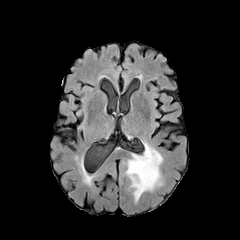
FLAIR MR image.
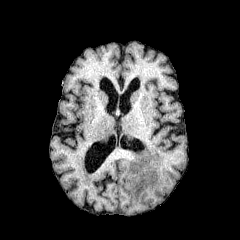
T1-weighted MR of the same slice.
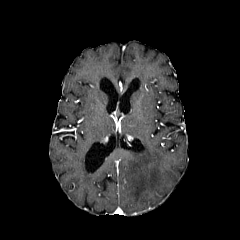
Post-contrast T1-weighted MRI.
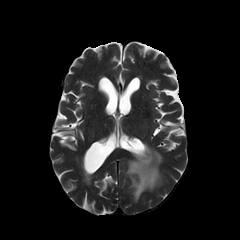
T2-weighted MR of the same slice.
Brain
<segmentation>
  <peritumoral_edema><bbox>125, 143, 162, 202</bbox></peritumoral_edema>
</segmentation>